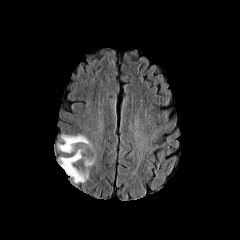
FLAIR MR image.
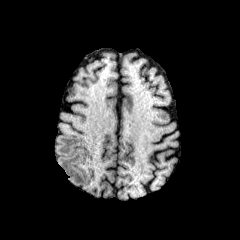
Same slice, T1-weighted MR.
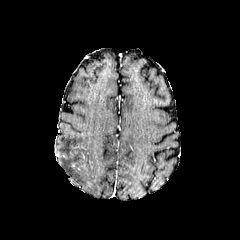
Post-contrast T1-weighted MR of the same slice.
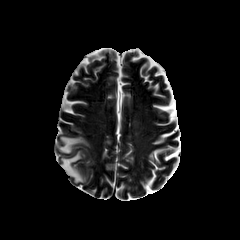
T2-weighted MR image.
Axial slice; 240x240
Annotated regions:
- peritumoral edema: bbox=[85, 159, 94, 166]; bbox=[59, 149, 88, 183]; bbox=[58, 135, 91, 153]